FLAIR MR image.
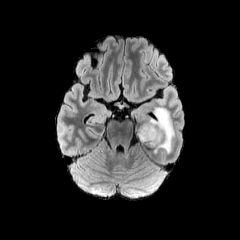
T1-weighted MR image.
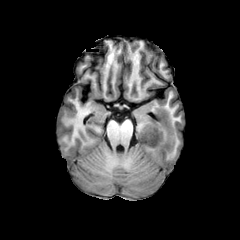
Post-contrast T1-weighted magnetic resonance.
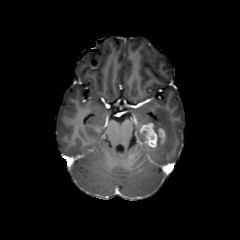
T2-weighted MRI.
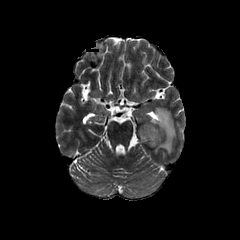
Brain.
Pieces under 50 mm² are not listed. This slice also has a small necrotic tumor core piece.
<segmentation>
  <peritumoral_edema>left=136, top=124, right=144, bottom=142; left=145, top=107, right=175, bottom=153</peritumoral_edema>
  <enhancing_tumor>left=139, top=123, right=164, bottom=147</enhancing_tumor>
</segmentation>